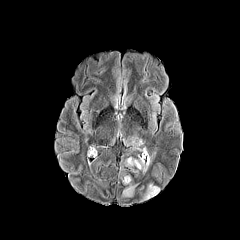
FLAIR MR image.
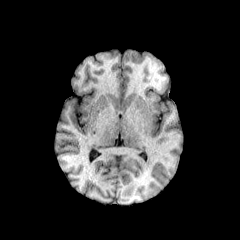
T1-weighted magnetic resonance.
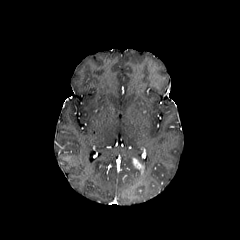
Post-contrast T1-weighted MR of the same slice.
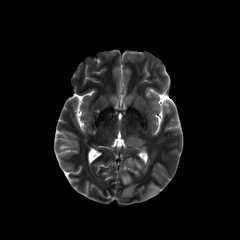
T2-weighted MR image.
Head
Annotated regions:
• enhancing tumor: left=132, top=158, right=144, bottom=172
• peritumoral edema: left=122, top=185, right=136, bottom=196; left=126, top=137, right=143, bottom=146; left=139, top=156, right=150, bottom=172; left=144, top=184, right=159, bottom=198; left=126, top=157, right=133, bottom=166; left=123, top=176, right=131, bottom=184